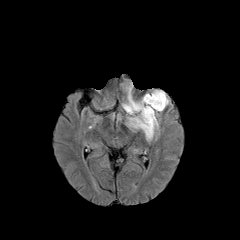
FLAIR magnetic resonance.
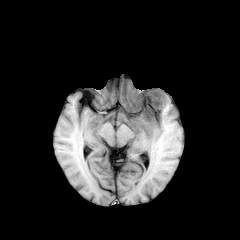
T1-weighted MRI.
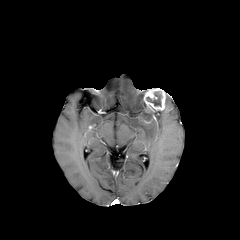
Post-contrast T1-weighted MR.
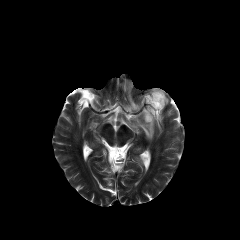
T2-weighted MRI of the same slice.
Axial plane | Image size 240x240
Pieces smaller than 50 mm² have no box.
The necrotic tumor core is bounded by box=[147, 93, 160, 106]. The largest peritumoral edema region is at box=[123, 86, 157, 139]. The enhancing tumor appears at box=[142, 88, 165, 123].